FLAIR MR image.
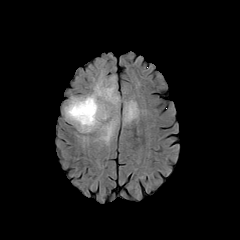
T1-weighted MR image.
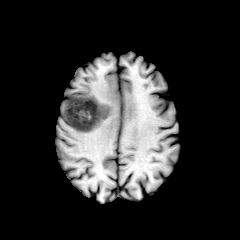
Post-contrast T1-weighted MR.
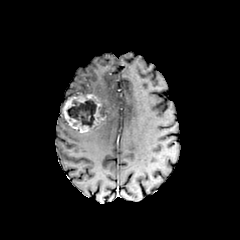
T2-weighted MRI.
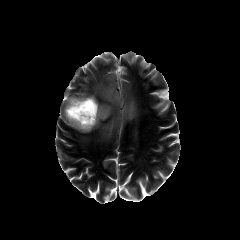
Brain
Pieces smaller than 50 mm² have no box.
The 2 largest peritumoral edema regions are located at (x1=123, y1=100, x2=138, y2=124), (x1=81, y1=74, x2=120, y2=142). The necrotic tumor core is at (x1=67, y1=99, x2=96, y2=127). The largest enhancing tumor region lies within (x1=63, y1=94, x2=105, y2=132).